Axial slice; Image covers 240 mm x 240 mm; Head
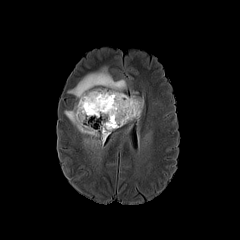
FLAIR MR.
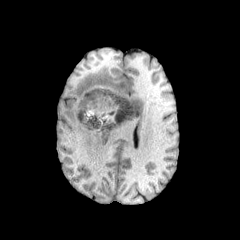
T1-weighted MR image.
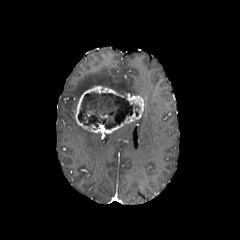
Post-contrast T1-weighted MRI.
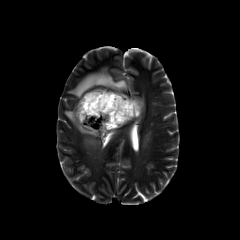
Same slice, T2-weighted magnetic resonance.
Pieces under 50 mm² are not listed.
The 2 largest peritumoral edema regions are bounded by (x1=68, y1=67, x2=126, y2=98), (x1=64, y1=104, x2=108, y2=145). The largest enhancing tumor region is located at (x1=74, y1=86, x2=144, y2=133). The largest necrotic tumor core region appears at (x1=78, y1=92, x2=139, y2=128).